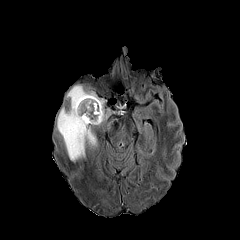
FLAIR MR image.
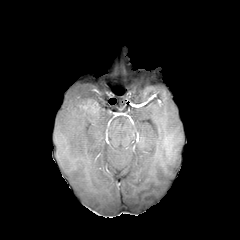
Same slice, T1-weighted MRI.
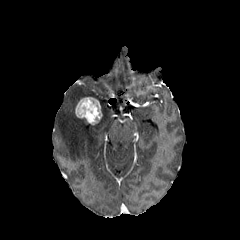
Post-contrast T1-weighted MRI of the same slice.
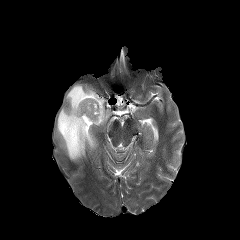
Same slice, T2-weighted magnetic resonance.
Head. Axial slice.
peritumoral edema: box=[57, 85, 110, 161]
enhancing tumor: box=[75, 97, 102, 124]